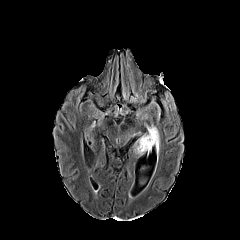
FLAIR MRI.
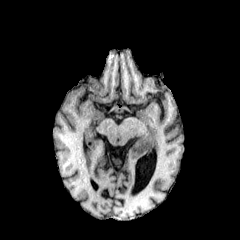
T1-weighted MR image.
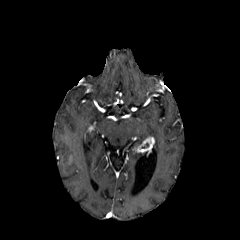
Post-contrast T1-weighted MR image.
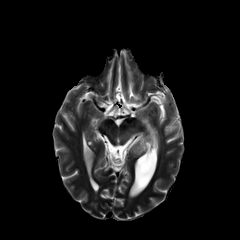
T2-weighted MR image.
Axial slice, Brain
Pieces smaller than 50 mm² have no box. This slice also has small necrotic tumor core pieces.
The enhancing tumor is at 134,136,154,153. The largest peritumoral edema region is located at 135,126,159,153.